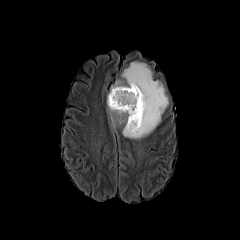
FLAIR magnetic resonance.
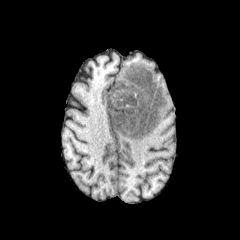
T1-weighted magnetic resonance.
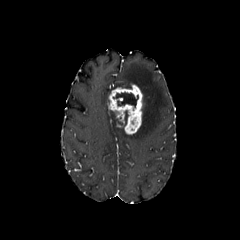
Post-contrast T1-weighted MR.
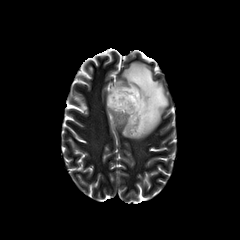
T2-weighted MRI.
Axial plane
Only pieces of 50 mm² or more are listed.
peritumoral edema = <box>108,60,168,139</box>
enhancing tumor = <box>107,84,142,134</box>
necrotic tumor core = <box>113,92,138,107</box>